FLAIR MR.
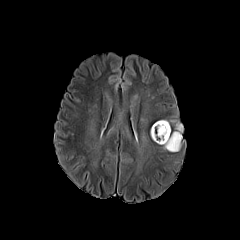
T1-weighted MR.
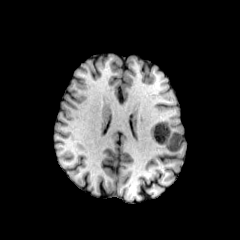
Post-contrast T1-weighted MRI.
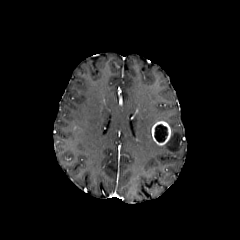
T2-weighted magnetic resonance.
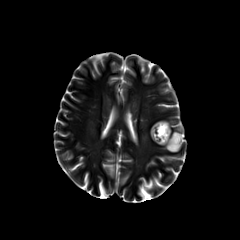
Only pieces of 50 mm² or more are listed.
necrotic tumor core: (x1=154, y1=124, x2=167, y2=142) | enhancing tumor: (x1=151, y1=121, x2=170, y2=145) | peritumoral edema: (x1=163, y1=120, x2=183, y2=152)